Axial plane | Image covers 240 mm x 240 mm | Slice index 43
FLAIR MR.
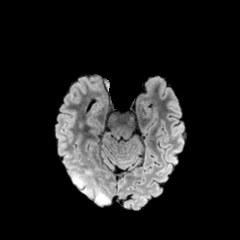
T1-weighted MR.
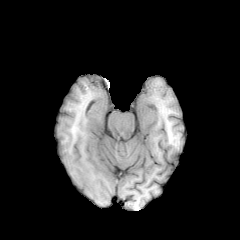
Post-contrast T1-weighted magnetic resonance.
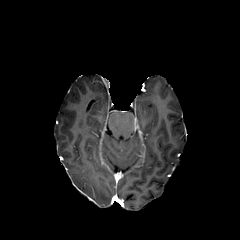
T2-weighted MR image.
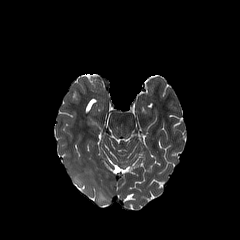
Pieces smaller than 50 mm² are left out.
The 2 largest peritumoral edema regions are located at box=[72, 173, 92, 197]; box=[95, 187, 109, 204].